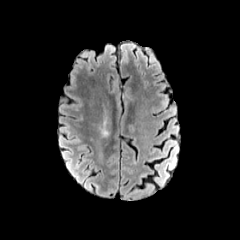
FLAIR magnetic resonance.
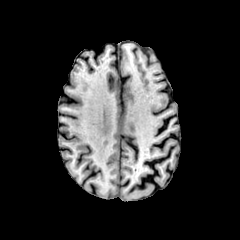
Same slice, T1-weighted MRI.
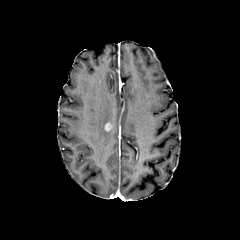
Post-contrast T1-weighted MRI.
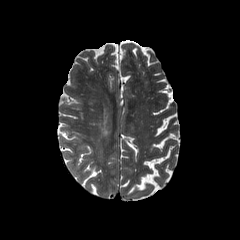
Same slice, T2-weighted MRI.
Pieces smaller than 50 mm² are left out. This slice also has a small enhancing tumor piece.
peritumoral_edema:
  - 101:123:108:136